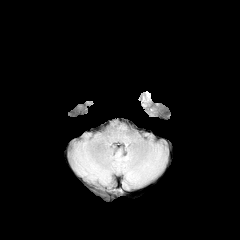
FLAIR MR.
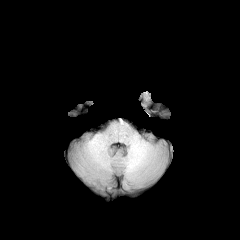
Same slice, T1-weighted MR image.
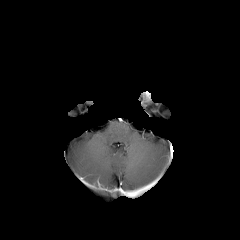
Post-contrast T1-weighted MR image of the same slice.
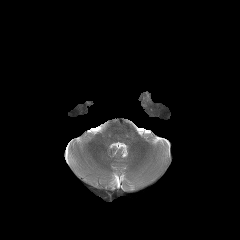
T2-weighted MR.
Brain; Image size 240x240
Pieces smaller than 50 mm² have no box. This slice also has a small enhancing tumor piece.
peritumoral edema at 142,92,150,102